FLAIR magnetic resonance.
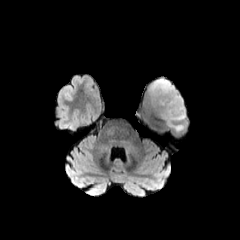
T1-weighted magnetic resonance.
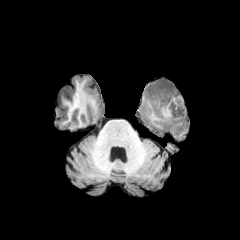
Post-contrast T1-weighted MRI.
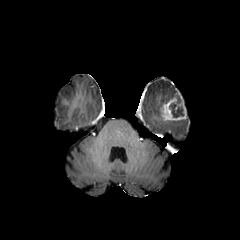
T2-weighted magnetic resonance.
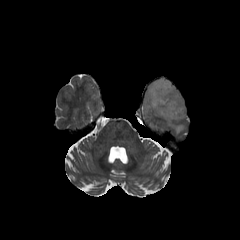
Head
{"enhancing_tumor": ["[156, 95, 186, 120]"], "peritumoral_edema": ["[167, 121, 185, 132]", "[148, 79, 179, 114]"], "necrotic_tumor_core": ["[169, 103, 183, 117]"]}